Head
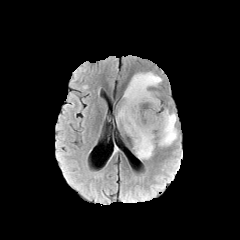
FLAIR magnetic resonance.
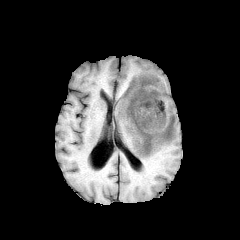
Same slice, T1-weighted magnetic resonance.
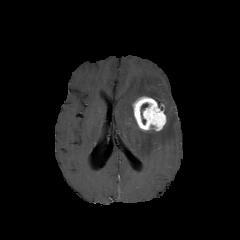
Same slice, post-contrast T1-weighted MR.
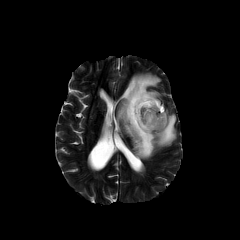
Same slice, T2-weighted magnetic resonance.
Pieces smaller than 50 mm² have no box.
Segmented structures:
- necrotic tumor core: x1=141, y1=103, x2=148, y2=124
- peritumoral edema: x1=116, y1=72, x2=177, y2=159
- enhancing tumor: x1=132, y1=96, x2=166, y2=131